FLAIR MRI.
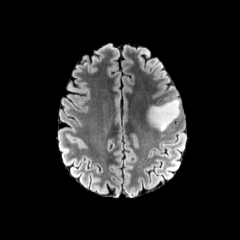
T1-weighted magnetic resonance.
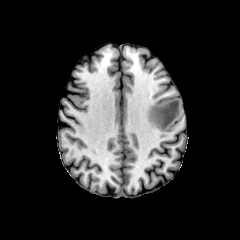
Post-contrast T1-weighted MRI.
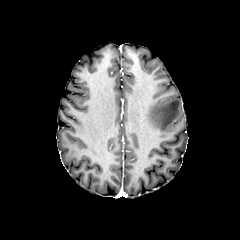
T2-weighted MR image.
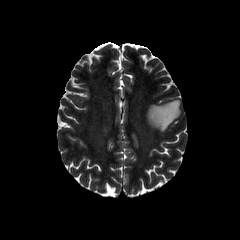
240x240.
The peritumoral edema lies within bbox(148, 99, 180, 131).